Image size 240x240. Image width 240 mm. Axial plane. Slice index 42.
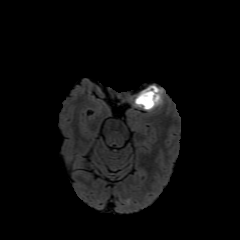
FLAIR magnetic resonance.
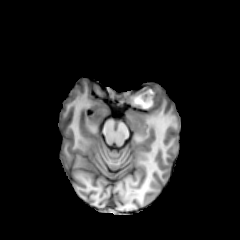
Same slice, T1-weighted MR.
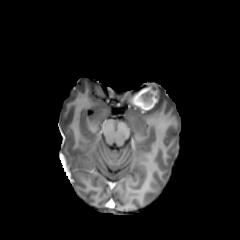
Post-contrast T1-weighted magnetic resonance.
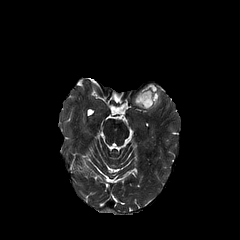
T2-weighted MR image.
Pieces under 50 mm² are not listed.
The peritumoral edema is bounded by box(148, 88, 162, 110). The enhancing tumor is at box(133, 85, 159, 109). The largest necrotic tumor core region is bounded by box(139, 91, 153, 105).